Brain
FLAIR MRI.
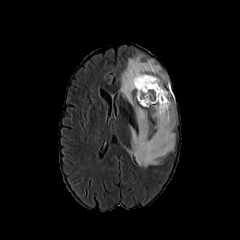
T1-weighted magnetic resonance.
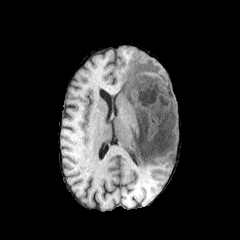
Post-contrast T1-weighted magnetic resonance.
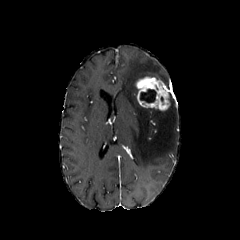
T2-weighted magnetic resonance.
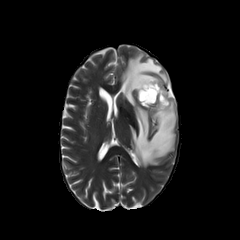
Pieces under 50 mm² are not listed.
• peritumoral edema: (left=119, top=54, right=176, bottom=167)
• necrotic tumor core: (left=140, top=89, right=156, bottom=102)
• enhancing tumor: (left=135, top=76, right=172, bottom=110)